FLAIR MRI.
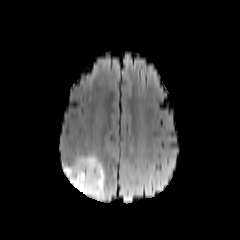
T1-weighted MR.
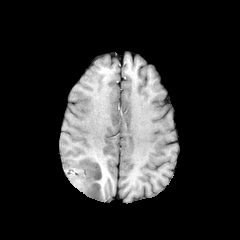
Post-contrast T1-weighted MR image.
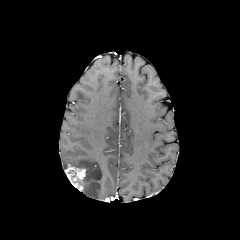
T2-weighted MRI.
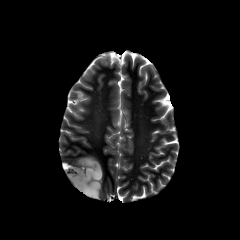
Head
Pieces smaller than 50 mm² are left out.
peritumoral edema — bbox=[74, 155, 104, 198]
enhancing tumor — bbox=[65, 165, 85, 191]